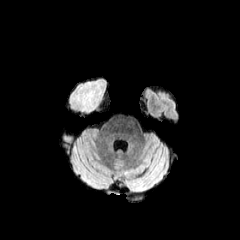
FLAIR MR.
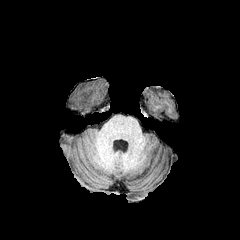
T1-weighted MRI of the same slice.
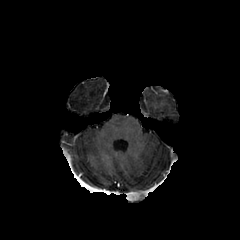
Post-contrast T1-weighted MR image.
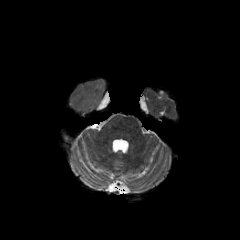
T2-weighted MR.
Brain
peritumoral edema: bounding box [67, 78, 106, 114]